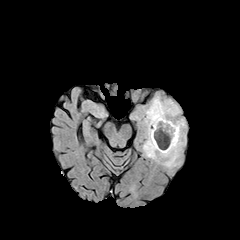
FLAIR MR.
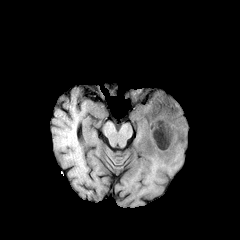
T1-weighted magnetic resonance of the same slice.
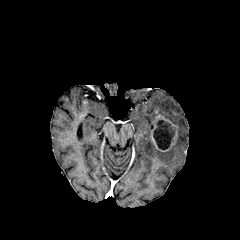
Same slice, post-contrast T1-weighted magnetic resonance.
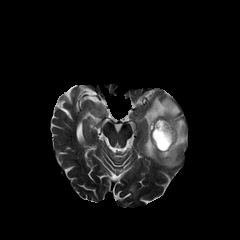
T2-weighted MRI of the same slice.
Brain, Axial slice
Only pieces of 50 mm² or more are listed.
Annotated regions:
* peritumoral edema: [x1=143, y1=96, x2=186, y2=167]
* enhancing tumor: [x1=151, y1=114, x2=177, y2=151]
* necrotic tumor core: [x1=153, y1=120, x2=174, y2=149]